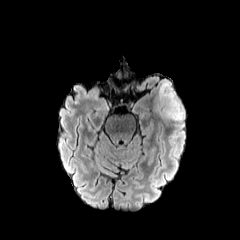
FLAIR MR image.
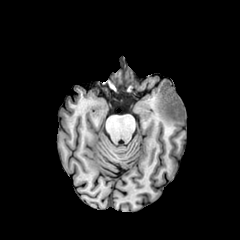
T1-weighted MR image.
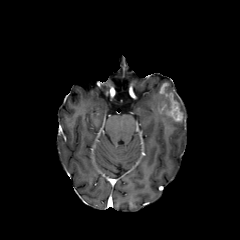
Same slice, post-contrast T1-weighted MR.
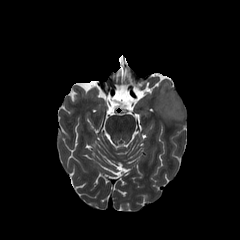
T2-weighted MR image.
Findings:
• peritumoral edema: region(155, 91, 172, 120); region(161, 80, 184, 125)
• enhancing tumor: region(159, 82, 183, 121)